Brain
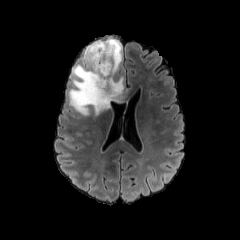
FLAIR MRI.
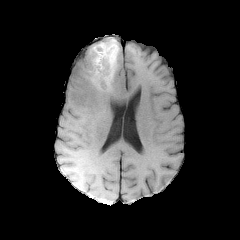
T1-weighted MRI.
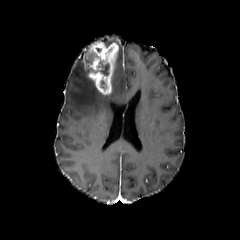
Post-contrast T1-weighted magnetic resonance.
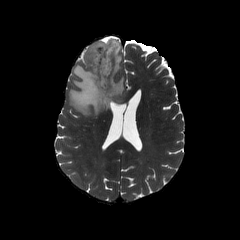
T2-weighted MR image of the same slice.
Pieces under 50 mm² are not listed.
Segmented structures:
- necrotic tumor core: bbox=[87, 51, 109, 76]
- enhancing tumor: bbox=[83, 41, 118, 95]
- peritumoral edema: bbox=[101, 38, 121, 75]; bbox=[69, 58, 129, 116]